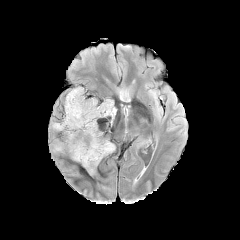
FLAIR MR.
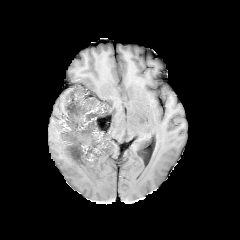
Same slice, T1-weighted MR.
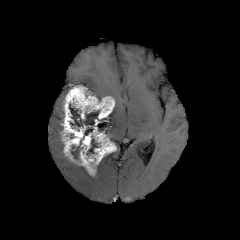
Post-contrast T1-weighted MR image.
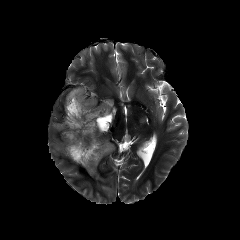
T2-weighted MRI.
240x240 | Head | Axial slice
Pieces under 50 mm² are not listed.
peritumoral edema: l=52, t=122, r=62, b=130; l=54, t=141, r=63, b=152 | necrotic tumor core: l=69, t=104, r=99, b=126; l=87, t=139, r=98, b=154; l=97, t=118, r=108, b=131; l=71, t=146, r=79, b=159 | enhancing tumor: l=61, t=85, r=116, b=175